FLAIR magnetic resonance.
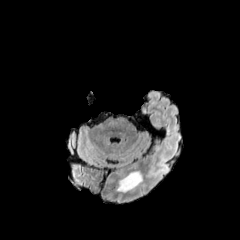
T1-weighted MRI.
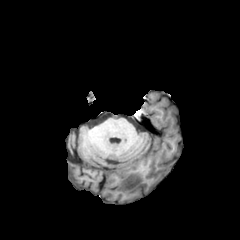
Post-contrast T1-weighted MR.
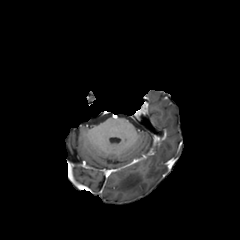
T2-weighted MR.
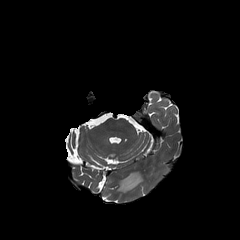
Axial view.
peritumoral edema: (117,170,142,192)